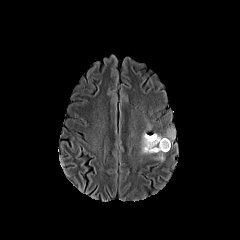
FLAIR MR image.
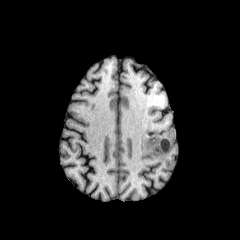
T1-weighted MRI of the same slice.
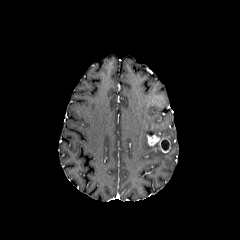
Post-contrast T1-weighted MRI of the same slice.
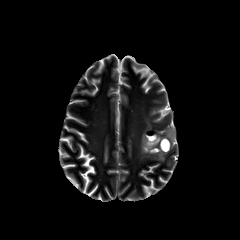
T2-weighted MRI.
Brain; 240x240 px; Axial plane
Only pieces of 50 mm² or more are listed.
enhancing tumor = 146 130 160 146, 158 137 170 152
necrotic tumor core = 161 139 169 150
peritumoral edema = 141 129 175 160